240x240 | Axial slice | Brain | Image width 240 mm
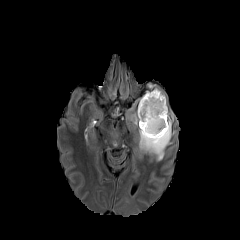
FLAIR MR.
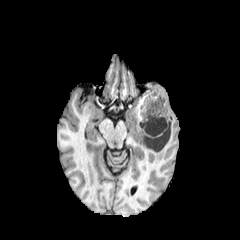
Same slice, T1-weighted MR image.
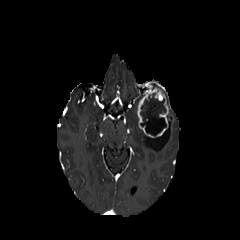
Post-contrast T1-weighted magnetic resonance.
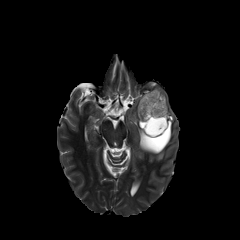
T2-weighted MRI.
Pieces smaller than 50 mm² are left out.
{
  "necrotic_tumor_core": [
    "(140, 93, 166, 135)"
  ],
  "enhancing_tumor": [
    "(137, 83, 168, 138)"
  ],
  "peritumoral_edema": [
    "(126, 98, 175, 160)"
  ]
}